Slice 102/155. Brain. Image size 240x240.
FLAIR MR image.
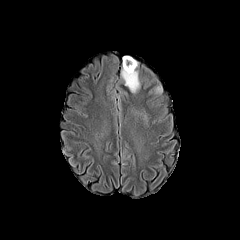
T1-weighted MRI.
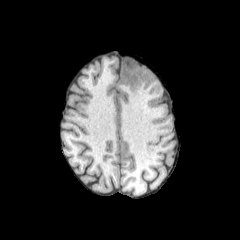
Post-contrast T1-weighted magnetic resonance.
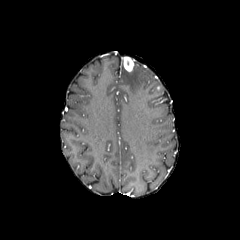
T2-weighted MRI.
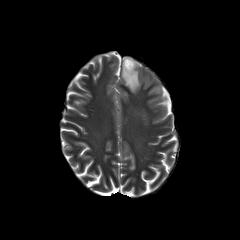
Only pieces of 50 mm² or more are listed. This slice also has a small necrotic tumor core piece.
enhancing_tumor:
  - <box>123,56,134,71</box>
peritumoral_edema:
  - <box>121,61,140,93</box>